Head, Slice 57/155, Image covers 240 mm x 240 mm
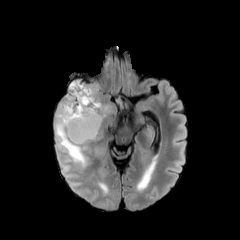
FLAIR MR image.
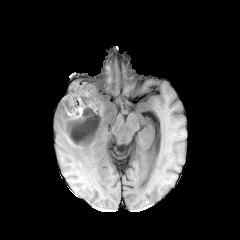
Same slice, T1-weighted MR.
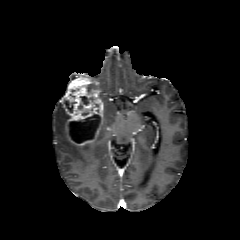
Post-contrast T1-weighted MRI of the same slice.
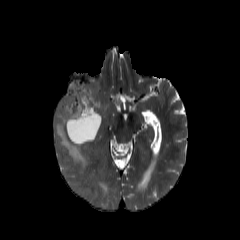
T2-weighted magnetic resonance.
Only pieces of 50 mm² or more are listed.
* necrotic tumor core: [x1=80, y1=96, x2=93, y2=104], [x1=65, y1=100, x2=75, y2=112], [x1=68, y1=114, x2=100, y2=143]
* enhancing tumor: [x1=71, y1=139, x2=93, y2=146], [x1=62, y1=78, x2=103, y2=138]
* peritumoral edema: [x1=104, y1=104, x2=109, y2=117], [x1=55, y1=103, x2=88, y2=167]